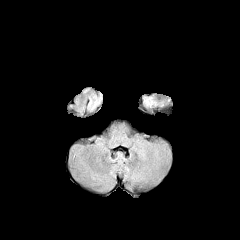
FLAIR magnetic resonance.
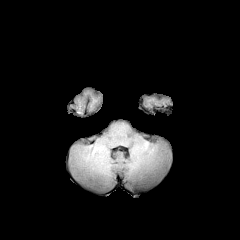
T1-weighted MR.
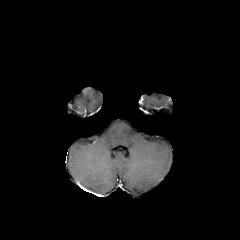
Post-contrast T1-weighted magnetic resonance of the same slice.
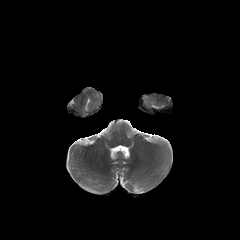
T2-weighted MRI.
Image size 240x240; Brain; Axial slice
peritumoral edema: bounding box bbox=[145, 96, 155, 107]